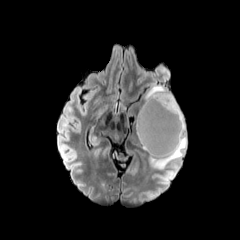
FLAIR MR image.
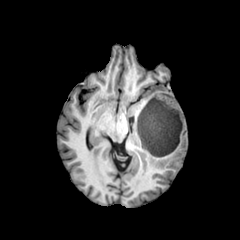
T1-weighted MR image.
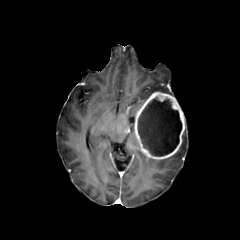
Post-contrast T1-weighted MR.
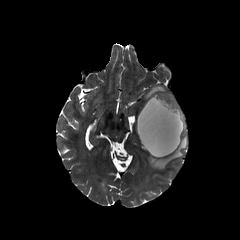
T2-weighted MR.
Axial plane, Brain, 240x240 px
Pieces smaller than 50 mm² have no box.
enhancing tumor at [x1=134, y1=91, x2=185, y2=159]
necrotic tumor core at [x1=138, y1=98, x2=181, y2=156]
peritumoral edema at [x1=148, y1=127, x2=187, y2=169], [x1=144, y1=85, x2=171, y2=102]